Axial view; Slice index 47; 240x240
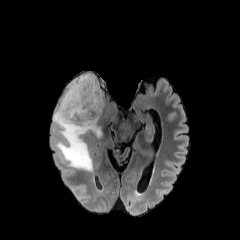
FLAIR MR.
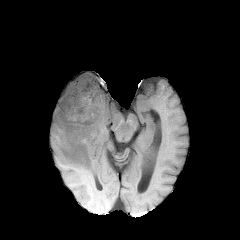
T1-weighted MRI of the same slice.
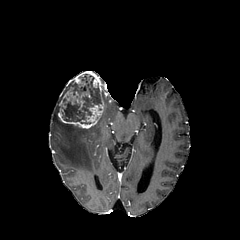
Post-contrast T1-weighted magnetic resonance.
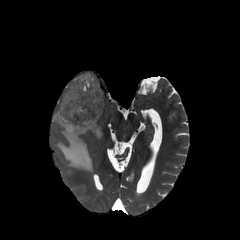
Same slice, T2-weighted MR image.
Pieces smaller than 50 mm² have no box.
The largest necrotic tumor core region lies within bbox=[62, 75, 101, 124]. The largest enhancing tumor region appears at bbox=[58, 71, 104, 128]. The largest peritumoral edema region is located at bbox=[53, 102, 101, 171].